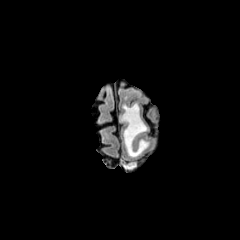
FLAIR magnetic resonance.
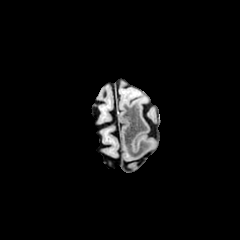
Same slice, T1-weighted MR image.
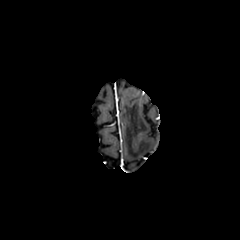
Post-contrast T1-weighted MRI.
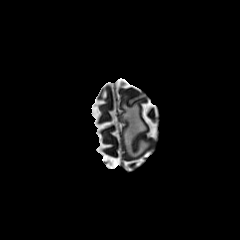
T2-weighted MRI of the same slice.
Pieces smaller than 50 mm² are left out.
peritumoral edema — bbox(120, 102, 150, 156)